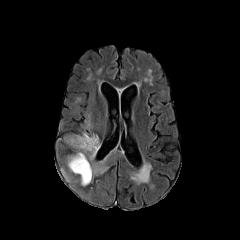
FLAIR magnetic resonance.
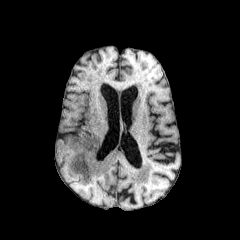
Same slice, T1-weighted MRI.
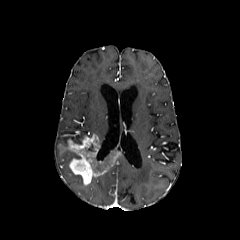
Post-contrast T1-weighted MR.
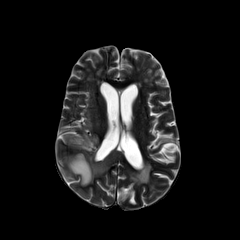
T2-weighted magnetic resonance.
Head, Axial slice
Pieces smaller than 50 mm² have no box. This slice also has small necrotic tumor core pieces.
{
  "peritumoral_edema": [
    "(67, 154, 77, 171)",
    "(66, 133, 91, 143)",
    "(82, 114, 93, 130)"
  ],
  "enhancing_tumor": [
    "(58, 134, 123, 185)"
  ]
}